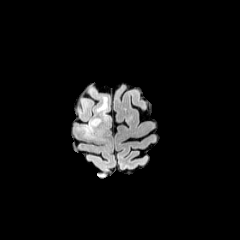
FLAIR MR.
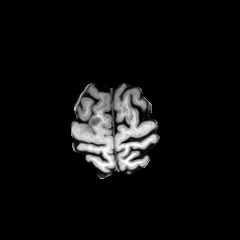
T1-weighted MRI of the same slice.
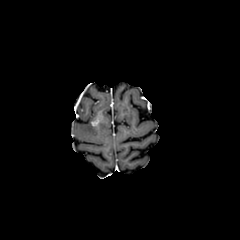
Post-contrast T1-weighted MR image of the same slice.
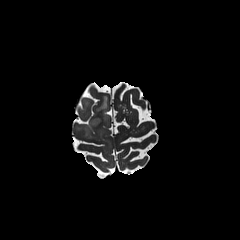
T2-weighted MR.
Brain
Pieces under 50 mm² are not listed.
The 2 largest peritumoral edema regions are located at [x1=78, y1=119, x2=102, y2=138], [x1=95, y1=96, x2=109, y2=122]. The enhancing tumor is at [x1=91, y1=109, x2=103, y2=127].